FLAIR magnetic resonance.
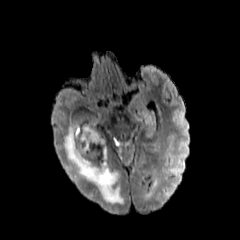
T1-weighted MR image.
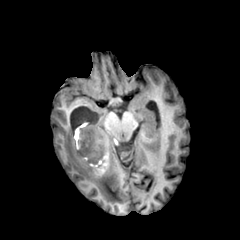
Post-contrast T1-weighted MR image.
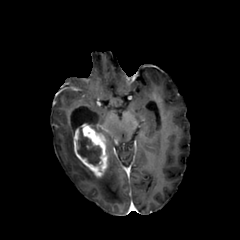
T2-weighted MR.
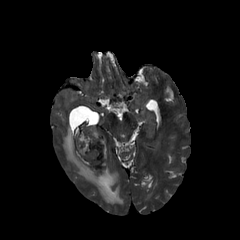
Brain.
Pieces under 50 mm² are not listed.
{"enhancing_tumor": ["x1=73, y1=123, x2=107, y2=177"], "peritumoral_edema": ["x1=63, y1=124, x2=124, y2=204"], "necrotic_tumor_core": ["x1=78, y1=130, x2=100, y2=165"]}